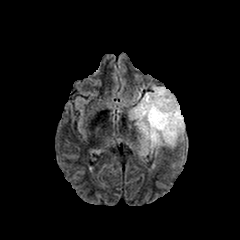
FLAIR MR.
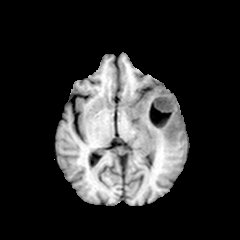
T1-weighted MRI.
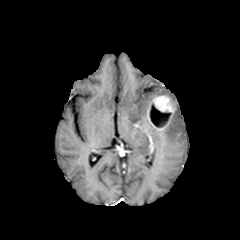
Post-contrast T1-weighted magnetic resonance.
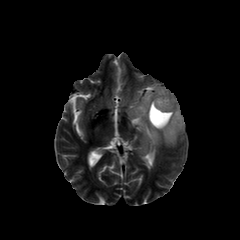
Same slice, T2-weighted magnetic resonance.
Brain
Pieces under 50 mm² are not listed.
enhancing tumor: region(147, 95, 175, 131)
peritumoral edema: region(128, 85, 184, 156)
necrotic tumor core: region(150, 104, 171, 127)